FLAIR MR.
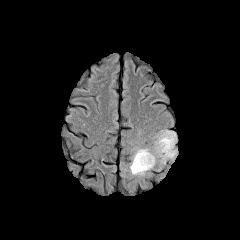
T1-weighted MR image.
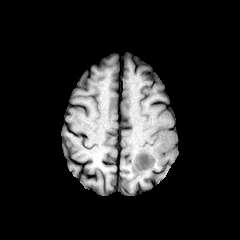
Post-contrast T1-weighted MRI.
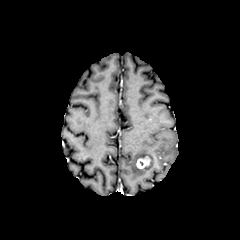
T2-weighted MR image.
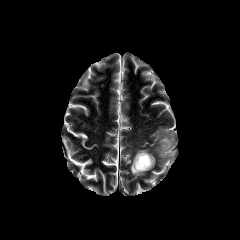
Axial view; 240x240
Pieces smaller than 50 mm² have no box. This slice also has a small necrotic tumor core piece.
enhancing tumor = (x1=136, y1=156, x2=150, y2=169)
peritumoral edema = (x1=130, y1=149, x2=155, y2=175), (x1=155, y1=130, x2=177, y2=162)